Axial plane | Head
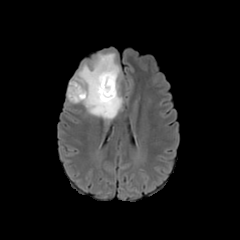
FLAIR MR.
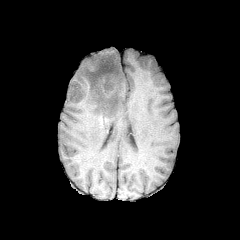
T1-weighted MRI of the same slice.
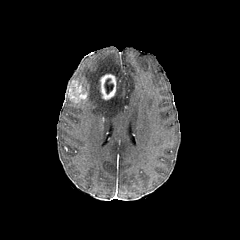
Post-contrast T1-weighted MRI.
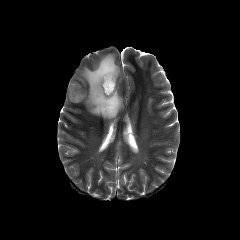
T2-weighted MRI of the same slice.
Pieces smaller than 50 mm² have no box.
The necrotic tumor core appears at 104, 78, 113, 93. The largest peritumoral edema region is at 73, 53, 122, 119. 2 enhancing tumor regions appear at 100, 74, 116, 99; 68, 80, 87, 102.